Brain | Image width 240 mm | Slice 88 of 155 | Axial plane | 240x240
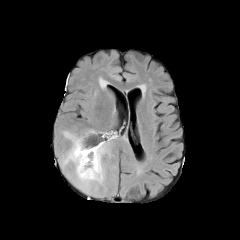
FLAIR MRI.
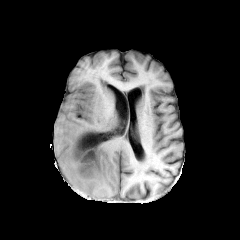
Same slice, T1-weighted MR image.
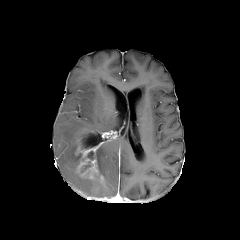
Post-contrast T1-weighted MR image of the same slice.
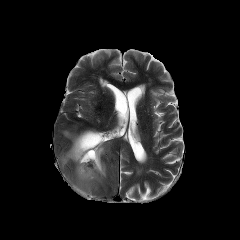
T2-weighted MRI.
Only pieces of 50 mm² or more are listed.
The 2 largest peritumoral edema regions are bounded by {"x1": 96, "y1": 141, "x2": 110, "y2": 180}, {"x1": 61, "y1": 131, "x2": 102, "y2": 192}. The largest necrotic tumor core region is at {"x1": 81, "y1": 132, "x2": 101, "y2": 148}. The enhancing tumor lies within {"x1": 75, "y1": 131, "x2": 104, "y2": 182}.